Axial view | Image covers 240 mm x 240 mm
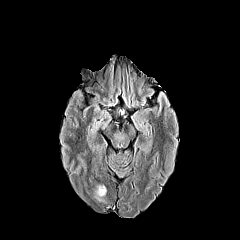
FLAIR MRI.
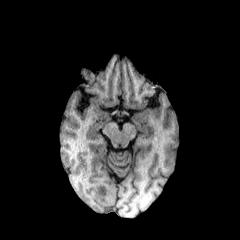
T1-weighted magnetic resonance.
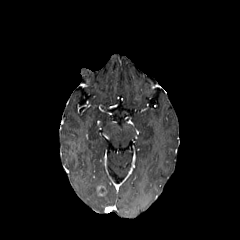
Post-contrast T1-weighted magnetic resonance.
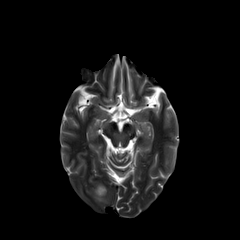
T2-weighted MR.
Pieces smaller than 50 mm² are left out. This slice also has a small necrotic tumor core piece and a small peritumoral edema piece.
{"enhancing_tumor": ["(96,185,106,195)"]}